Axial view | Image width 240 mm, 1.00 mm slice spacing | Image size 240x240
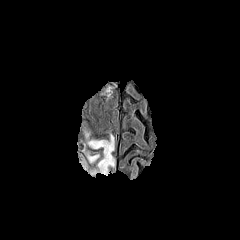
FLAIR MRI.
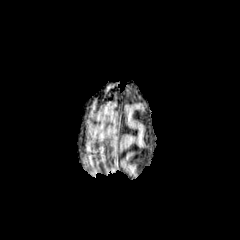
T1-weighted magnetic resonance of the same slice.
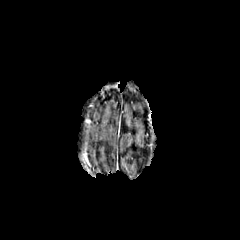
Post-contrast T1-weighted MR image of the same slice.
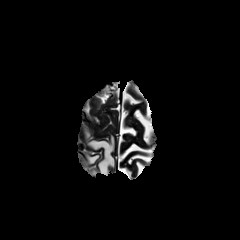
T2-weighted magnetic resonance of the same slice.
2 peritumoral edema regions are bounded by x1=87 y1=134 x2=115 y2=174, x1=86 y1=153 x2=99 y2=162.